FLAIR MRI.
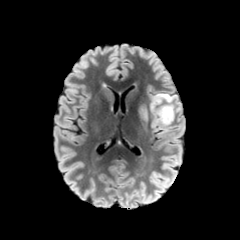
T1-weighted MR image.
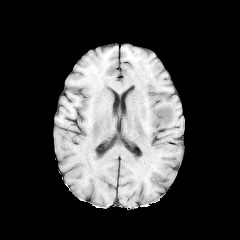
Post-contrast T1-weighted magnetic resonance.
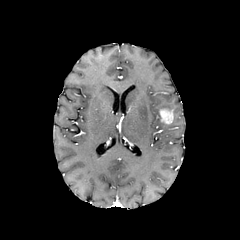
T2-weighted MRI.
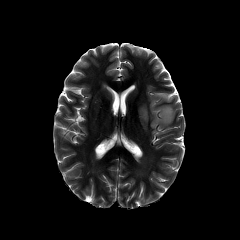
Image size 240x240.
2 peritumoral edema regions appear at <box>140,108,147,121</box>, <box>150,93,180,131</box>. The enhancing tumor is bounded by <box>159,108,173,124</box>.